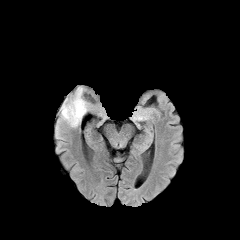
FLAIR MRI.
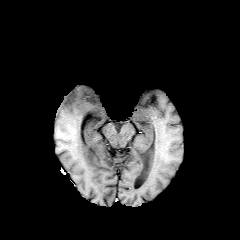
Same slice, T1-weighted MRI.
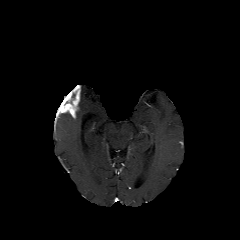
Same slice, post-contrast T1-weighted MRI.
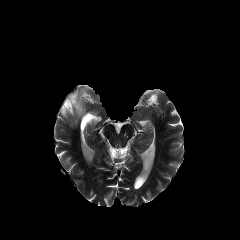
T2-weighted MRI.
Brain
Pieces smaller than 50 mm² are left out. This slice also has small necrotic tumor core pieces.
Segmented structures:
* peritumoral edema: (57,86,90,127)
* enhancing tumor: (58,85,80,118)